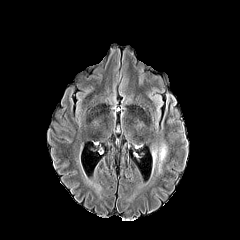
FLAIR MR image.
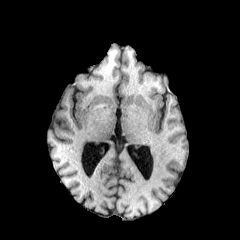
T1-weighted MRI.
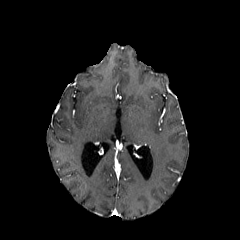
Post-contrast T1-weighted MR.
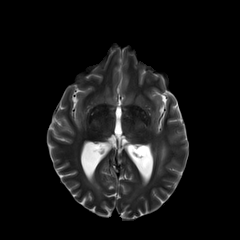
Same slice, T2-weighted MR image.
Axial view
<segmentation>
  <peritumoral_edema>bbox(152, 143, 167, 173)</peritumoral_edema>
</segmentation>